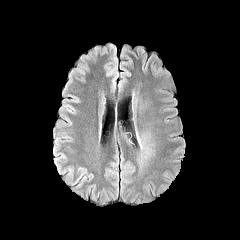
FLAIR MRI.
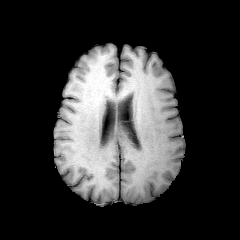
T1-weighted magnetic resonance.
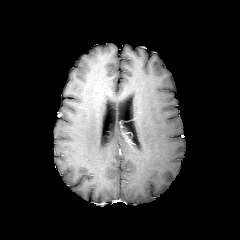
Post-contrast T1-weighted MR of the same slice.
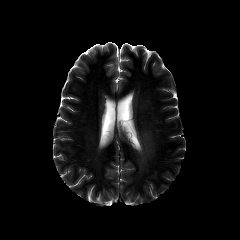
T2-weighted MR.
Head
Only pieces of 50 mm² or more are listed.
The largest peritumoral edema region appears at bbox(136, 132, 144, 149).